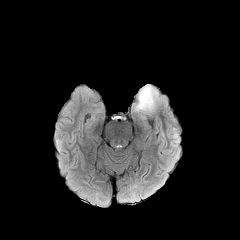
FLAIR MR.
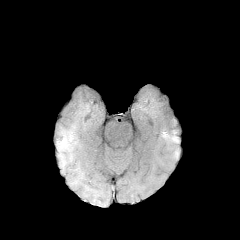
T1-weighted MR.
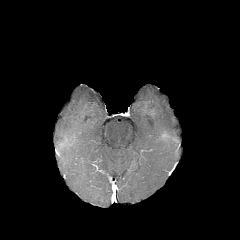
Post-contrast T1-weighted MRI.
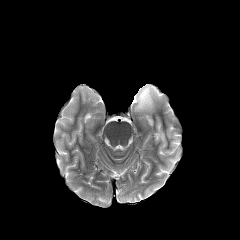
Same slice, T2-weighted MR.
Axial view, Head
peritumoral edema: l=134, t=84, r=161, b=113